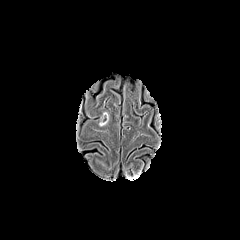
FLAIR magnetic resonance.
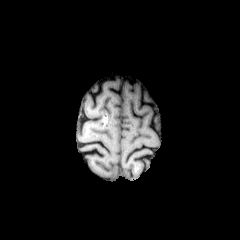
T1-weighted MRI.
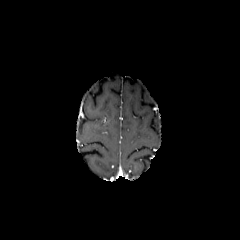
Post-contrast T1-weighted magnetic resonance.
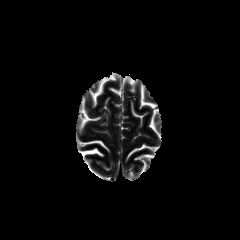
T2-weighted magnetic resonance of the same slice.
Axial view
{
  "peritumoral_edema": [
    "(100,113,107,125)"
  ]
}